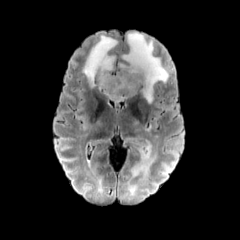
FLAIR MRI.
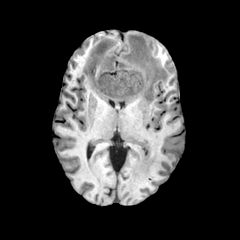
T1-weighted MR of the same slice.
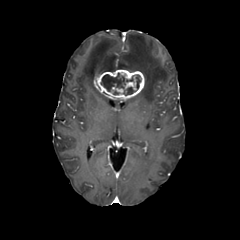
Same slice, post-contrast T1-weighted MR image.
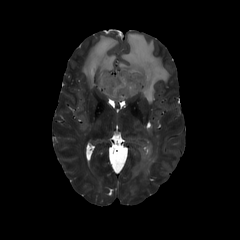
T2-weighted MR.
Brain
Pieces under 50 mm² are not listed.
The 3 largest peritumoral edema regions are located at region(119, 32, 169, 103); region(82, 35, 117, 87); region(126, 138, 158, 183). The enhancing tumor is bounded by region(94, 69, 144, 100). The 2 largest necrotic tumor core regions are bounded by region(101, 73, 133, 91); region(136, 75, 140, 89).